FLAIR magnetic resonance.
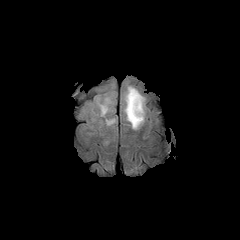
T1-weighted MR.
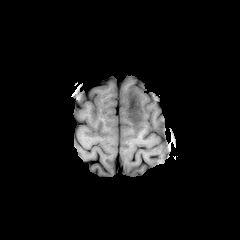
Post-contrast T1-weighted MRI.
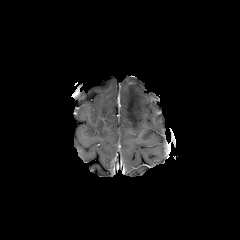
T2-weighted MR.
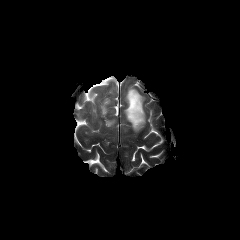
240x240
peritumoral edema — (124, 86, 145, 129), (100, 98, 109, 115), (106, 119, 115, 126)